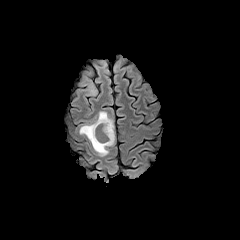
FLAIR magnetic resonance.
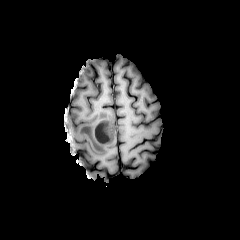
T1-weighted magnetic resonance of the same slice.
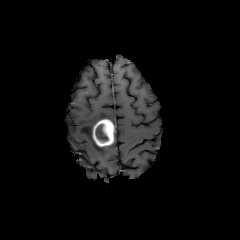
Same slice, post-contrast T1-weighted MRI.
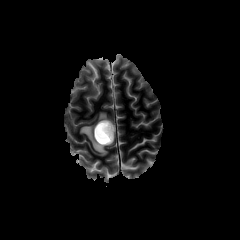
T2-weighted MR of the same slice.
{"enhancing_tumor": ["bbox=[92, 119, 114, 146]"], "necrotic_tumor_core": ["bbox=[96, 124, 107, 141]"], "peritumoral_edema": ["bbox=[78, 68, 97, 95]", "bbox=[79, 111, 115, 156]"]}